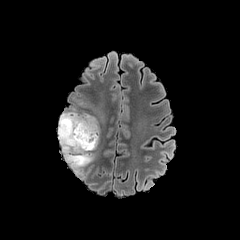
FLAIR MR image.
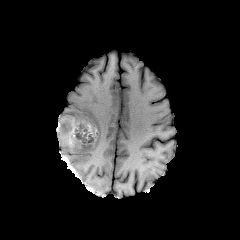
Same slice, T1-weighted MRI.
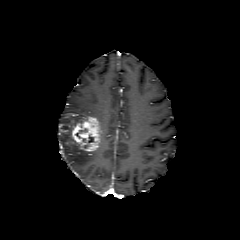
Post-contrast T1-weighted MR of the same slice.
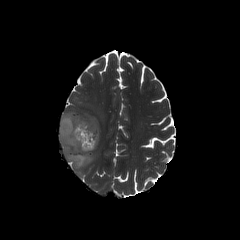
T2-weighted magnetic resonance.
Head; 240x240; Axial plane
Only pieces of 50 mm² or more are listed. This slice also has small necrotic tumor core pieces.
{"peritumoral_edema": ["<bbox>58, 111, 94, 171</bbox>"], "enhancing_tumor": ["<bbox>62, 116, 100, 151</bbox>"]}